Image width 240 mm, 1.00 mm slice spacing; Axial view; Brain; Image size 240x240
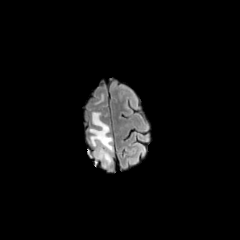
FLAIR MR image.
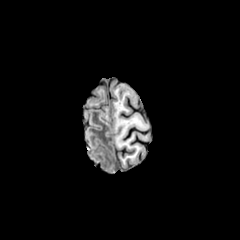
T1-weighted MR.
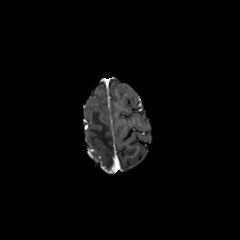
Post-contrast T1-weighted MR image.
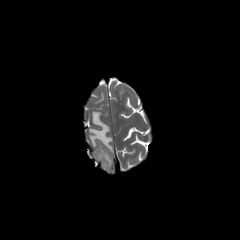
T2-weighted MRI of the same slice.
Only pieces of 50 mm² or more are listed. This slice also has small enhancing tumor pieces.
peritumoral edema: bounding box region(88, 111, 113, 168)